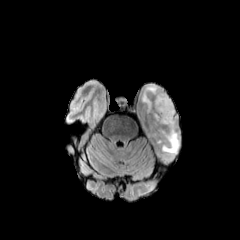
FLAIR MRI.
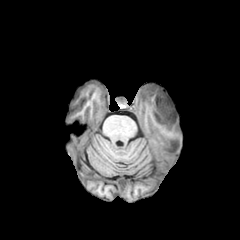
T1-weighted MRI.
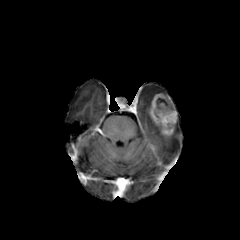
Post-contrast T1-weighted MRI of the same slice.
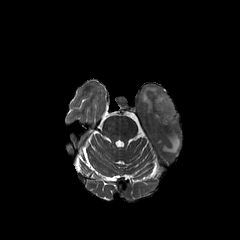
T2-weighted MR image.
Brain.
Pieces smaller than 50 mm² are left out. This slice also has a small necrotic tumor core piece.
The 2 largest peritumoral edema regions appear at box(162, 121, 180, 154); box(142, 84, 165, 112). The enhancing tumor is located at box(149, 93, 177, 136).